FLAIR MR image.
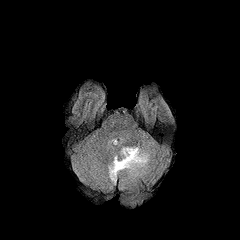
T1-weighted magnetic resonance.
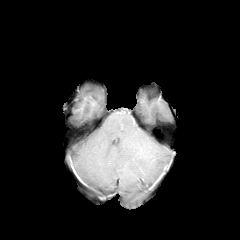
Post-contrast T1-weighted MR.
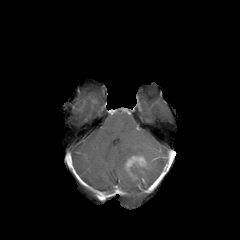
T2-weighted MR.
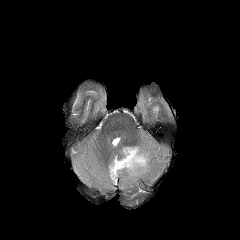
Axial view
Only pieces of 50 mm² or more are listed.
{
  "enhancing_tumor": [
    "(125,155,146,171)"
  ],
  "peritumoral_edema": [
    "(108,146,150,183)"
  ]
}